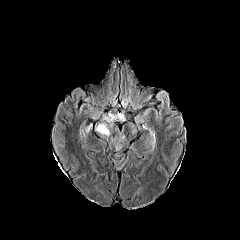
FLAIR MRI.
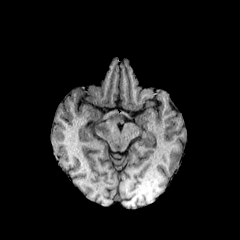
T1-weighted MRI of the same slice.
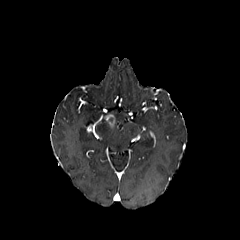
Post-contrast T1-weighted MR.
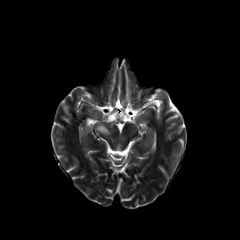
T2-weighted MR image.
Brain; 240x240 px
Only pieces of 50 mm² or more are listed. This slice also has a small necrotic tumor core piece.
The largest peritumoral edema region is bounded by rect(96, 123, 110, 135). The enhancing tumor is located at rect(104, 114, 115, 127).